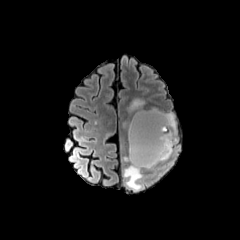
FLAIR magnetic resonance.
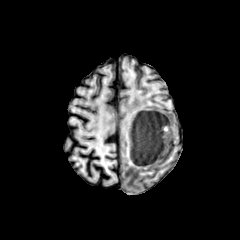
T1-weighted MR of the same slice.
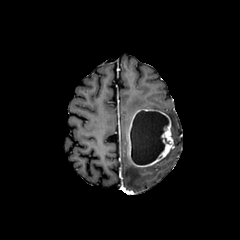
Same slice, post-contrast T1-weighted magnetic resonance.
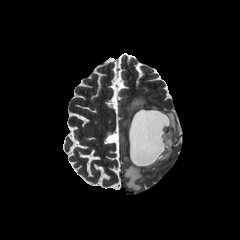
T2-weighted MR.
240x240 px.
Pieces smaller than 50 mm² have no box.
The 4 largest peritumoral edema regions are located at region(159, 149, 172, 161); region(123, 163, 143, 191); region(122, 98, 144, 128); region(165, 112, 177, 142). The enhancing tumor is at region(127, 109, 173, 167). The largest necrotic tumor core region is at region(130, 110, 168, 164).